Brain | Axial plane
FLAIR magnetic resonance.
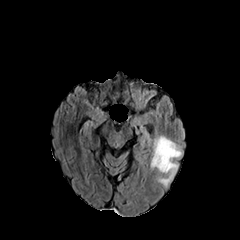
T1-weighted MR.
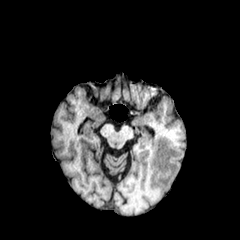
Post-contrast T1-weighted MRI.
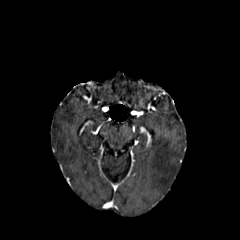
T2-weighted MRI.
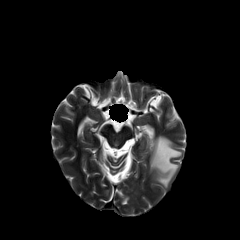
peritumoral edema: left=151, top=136, right=182, bottom=187